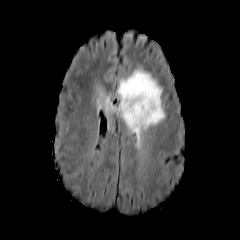
FLAIR MRI.
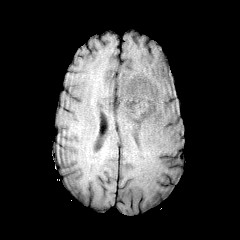
T1-weighted MRI of the same slice.
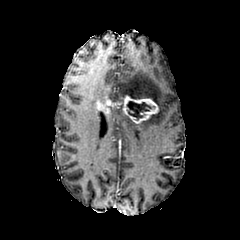
Post-contrast T1-weighted MR.
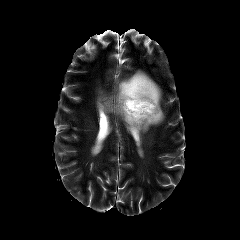
T2-weighted MR.
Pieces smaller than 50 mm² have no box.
<segmentation>
  <peritumoral_edema>110 69 164 142, 96 92 110 103</peritumoral_edema>
  <enhancing_tumor>97 96 158 124</enhancing_tumor>
  <necrotic_tumor_core>127 101 151 120</necrotic_tumor_core>
</segmentation>